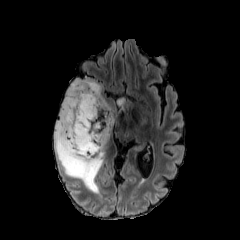
FLAIR MR image.
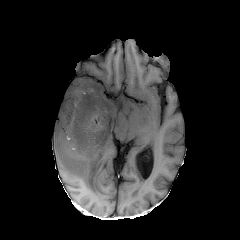
T1-weighted magnetic resonance.
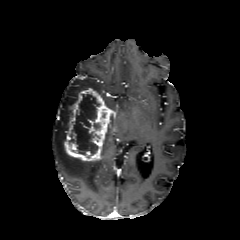
Post-contrast T1-weighted MRI.
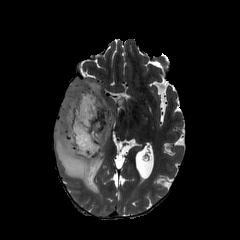
T2-weighted MR of the same slice.
Brain
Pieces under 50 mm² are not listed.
Annotated regions:
* necrotic tumor core: left=69, top=94, right=100, bottom=154
* peritumoral edema: left=54, top=79, right=109, bottom=194; left=116, top=98, right=125, bottom=106
* enhancing tumor: left=64, top=88, right=115, bottom=161